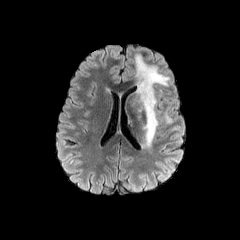
FLAIR MRI.
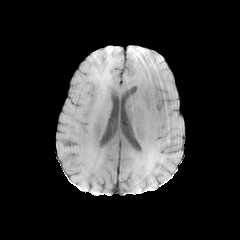
T1-weighted MRI.
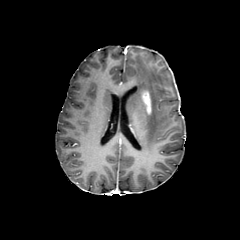
Post-contrast T1-weighted magnetic resonance of the same slice.
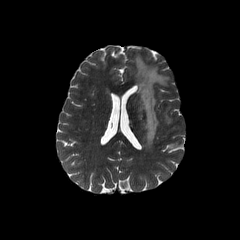
T2-weighted MR image.
240x240 px | Axial view
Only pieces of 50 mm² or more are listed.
peritumoral edema = x1=128 y1=54 x2=169 y2=147, x1=163 y1=107 x2=171 y2=124
enhancing tumor = x1=141 y1=89 x2=151 y2=114